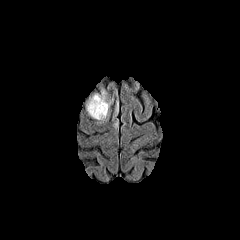
FLAIR MRI.
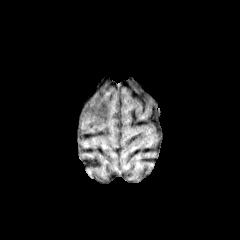
T1-weighted MR image.
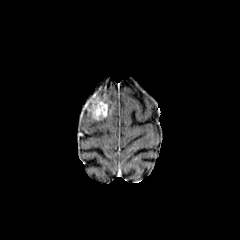
Post-contrast T1-weighted MR.
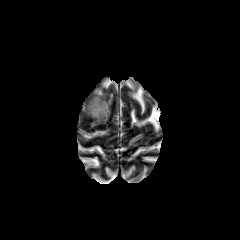
Same slice, T2-weighted MR.
Image size 240x240
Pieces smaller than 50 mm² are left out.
<segmentation>
  <peritumoral_edema>(x1=112, y1=101, x2=118, y2=127)</peritumoral_edema>
  <enhancing_tumor>(x1=85, y1=94, x2=108, y2=120)</enhancing_tumor>
</segmentation>